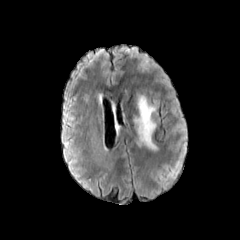
FLAIR magnetic resonance.
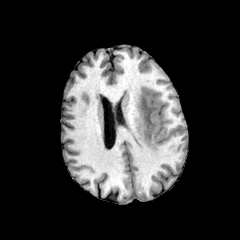
T1-weighted MR.
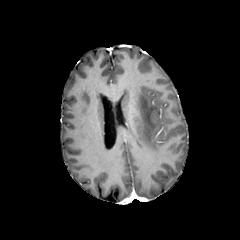
Same slice, post-contrast T1-weighted MRI.
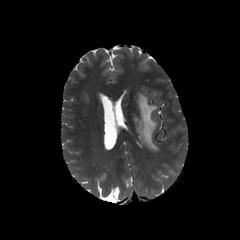
T2-weighted MR.
240x240, Brain
peritumoral edema = [134,94,157,151]